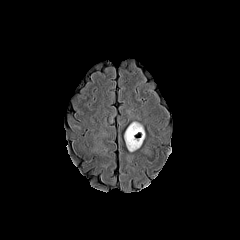
FLAIR MRI.
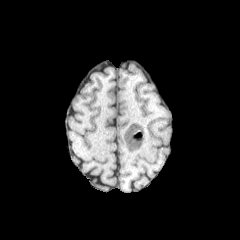
T1-weighted MR image of the same slice.
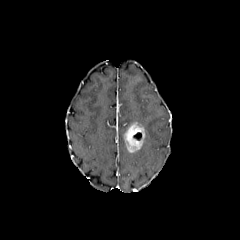
Post-contrast T1-weighted MRI.
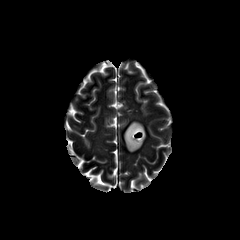
T2-weighted MR image of the same slice.
Brain.
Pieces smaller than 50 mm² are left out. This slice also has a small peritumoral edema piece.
Segmented structures:
* enhancing tumor: (124, 122, 144, 152)
* necrotic tumor core: (133, 132, 141, 140)